Axial slice; 240x240; Head
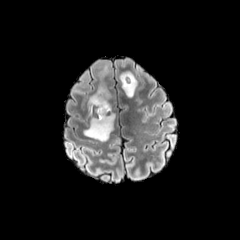
FLAIR MR image.
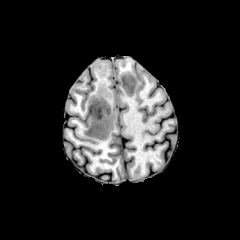
T1-weighted magnetic resonance.
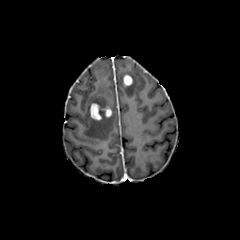
Post-contrast T1-weighted MR of the same slice.
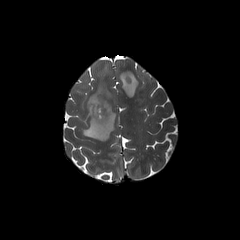
T2-weighted MR.
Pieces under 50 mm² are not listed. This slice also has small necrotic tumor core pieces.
peritumoral edema — rect(83, 64, 115, 141); rect(119, 69, 137, 97)
enhancing tumor — rect(90, 103, 111, 120); rect(123, 75, 132, 86)